FLAIR MR.
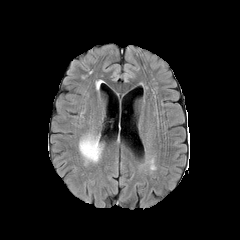
T1-weighted MR image.
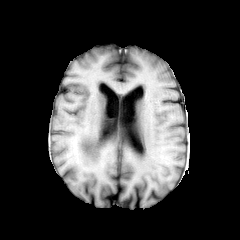
Post-contrast T1-weighted MRI.
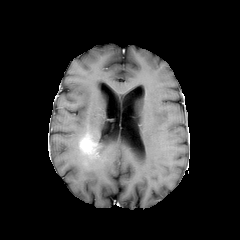
T2-weighted MRI.
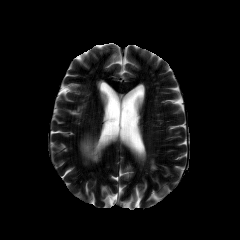
Axial slice; Brain; 240x240
{
  "enhancing_tumor": [
    "(79, 136, 101, 159)"
  ],
  "peritumoral_edema": [
    "(79, 133, 103, 164)"
  ]
}